FLAIR MR.
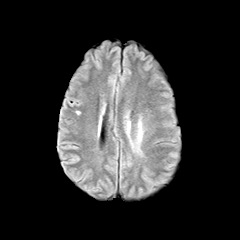
T1-weighted MR.
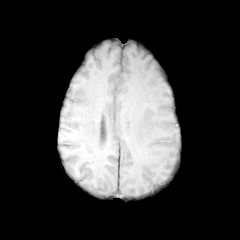
Post-contrast T1-weighted MR image.
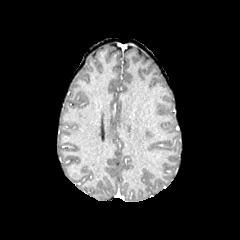
T2-weighted MR.
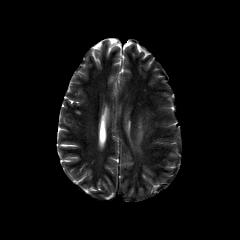
Brain. Image size 240x240.
peritumoral edema = [x1=138, y1=122, x2=141, y2=140]